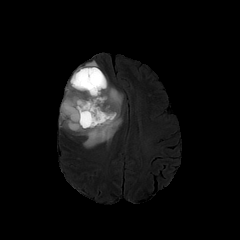
FLAIR MR image.
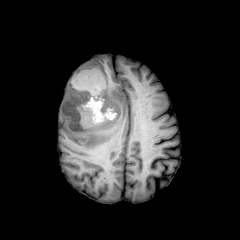
Same slice, T1-weighted MR.
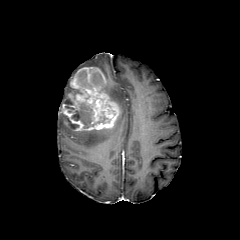
Post-contrast T1-weighted MR image.
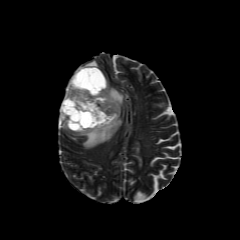
T2-weighted MR.
Head
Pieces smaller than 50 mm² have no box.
necrotic tumor core = <box>78,70,92,88</box>, <box>72,103,94,127</box>, <box>64,115,78,129</box>, <box>91,71,105,87</box>
enhancing tumor = <box>61,67,120,131</box>
peritumoral edema = <box>62,77,79,103</box>, <box>73,60,98,75</box>, <box>59,77,123,148</box>